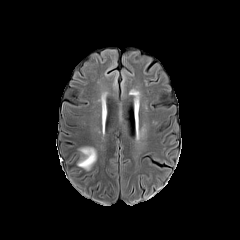
FLAIR MRI.
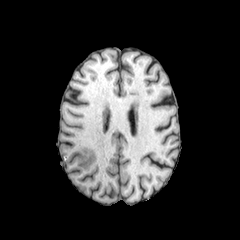
T1-weighted MRI.
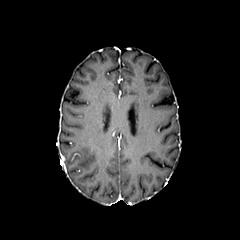
Post-contrast T1-weighted MRI.
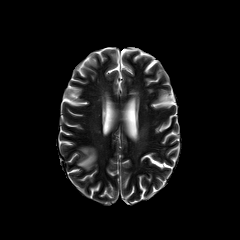
T2-weighted MRI.
Brain, Image size 240x240
Segmented structures:
• peritumoral edema: x1=77, y1=147, x2=97, y2=170